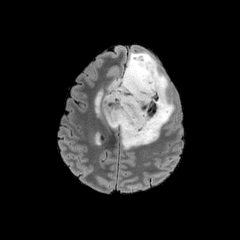
FLAIR MRI.
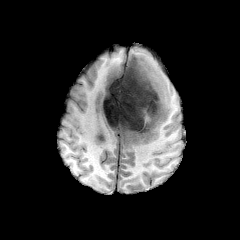
T1-weighted MR.
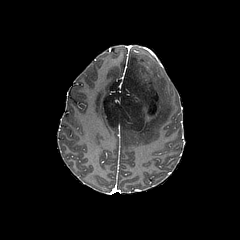
Same slice, post-contrast T1-weighted MR image.
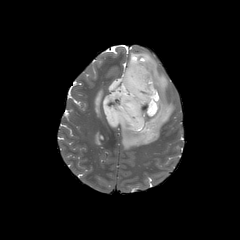
T2-weighted MR image.
Image size 240x240 | Head
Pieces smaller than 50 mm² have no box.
The necrotic tumor core is located at 103 56 161 134. The 2 largest peritumoral edema regions appear at 120 51 174 148, 95 90 102 116.